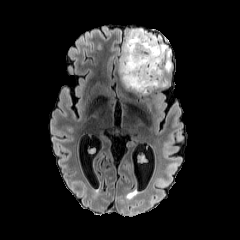
FLAIR MR image.
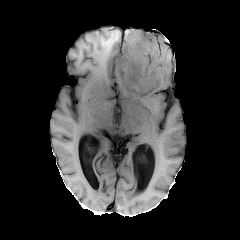
Same slice, T1-weighted MR image.
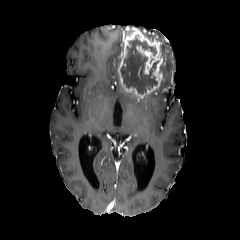
Post-contrast T1-weighted MR image.
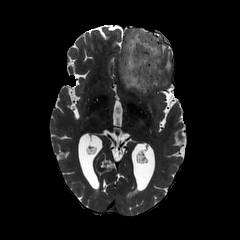
T2-weighted MRI.
Brain | Axial slice | 240x240
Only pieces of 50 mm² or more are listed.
enhancing_tumor:
  - 118,28,164,96
peritumoral_edema:
  - 156,36,172,86
necrotic_tumor_core:
  - 120,39,158,94